FLAIR MR.
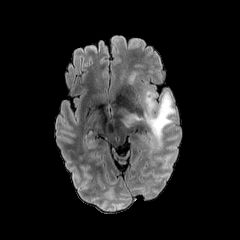
T1-weighted MRI.
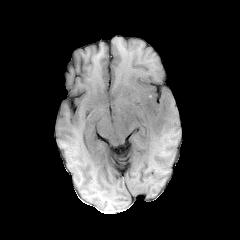
Post-contrast T1-weighted MRI.
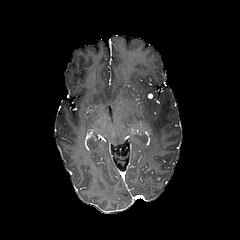
T2-weighted MR image.
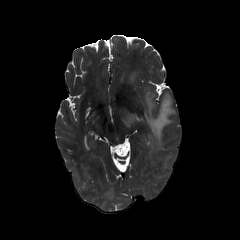
Axial plane
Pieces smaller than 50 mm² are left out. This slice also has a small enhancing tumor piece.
peritumoral edema: region(144, 91, 175, 148); region(129, 73, 136, 82); region(121, 109, 143, 125)